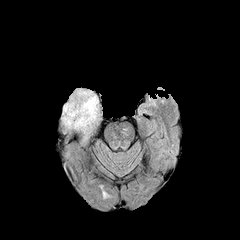
FLAIR MR.
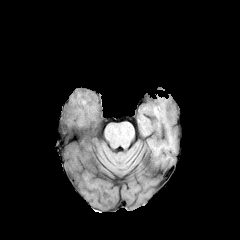
Same slice, T1-weighted MR.
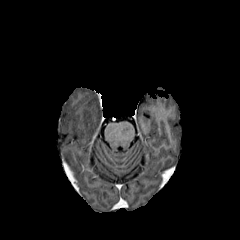
Post-contrast T1-weighted magnetic resonance of the same slice.
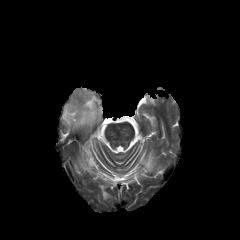
T2-weighted magnetic resonance of the same slice.
Axial view; 240x240
Annotated regions:
• peritumoral edema: [61,89,101,133]